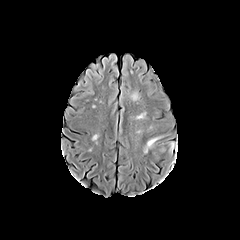
FLAIR MR.
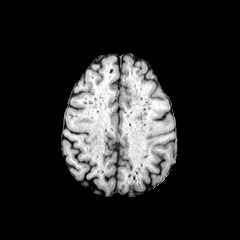
T1-weighted MRI.
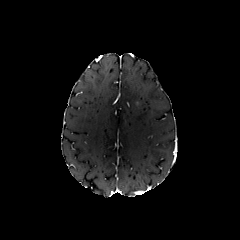
Post-contrast T1-weighted magnetic resonance.
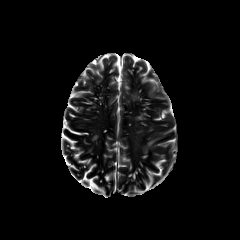
Same slice, T2-weighted MRI.
240x240, Brain
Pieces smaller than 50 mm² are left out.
peritumoral edema: [144,134,171,152]